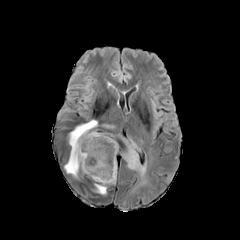
FLAIR magnetic resonance.
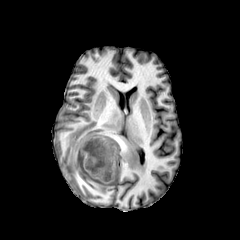
T1-weighted magnetic resonance.
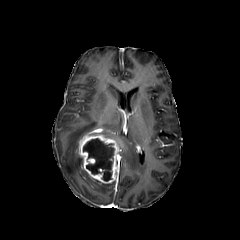
Post-contrast T1-weighted MR image.
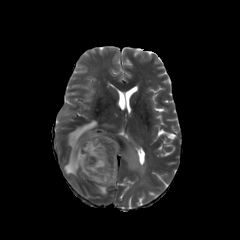
Same slice, T2-weighted MR image.
Brain. Axial view.
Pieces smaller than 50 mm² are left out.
The enhancing tumor is located at [76, 132, 120, 183]. The 3 largest peritumoral edema regions are bounded by [64, 120, 97, 177], [121, 137, 146, 179], [95, 184, 110, 194]. The largest necrotic tumor core region is at [83, 139, 113, 180].